FLAIR MR.
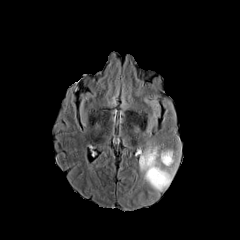
T1-weighted MR.
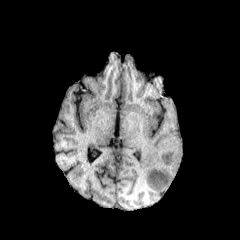
Post-contrast T1-weighted MR image.
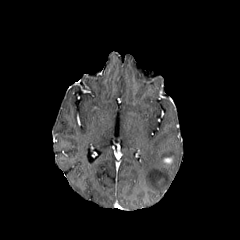
T2-weighted MRI.
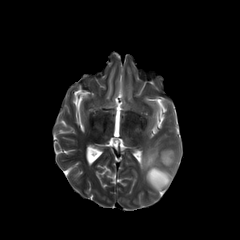
Image size 240x240 | Head | Axial view
The enhancing tumor is at [x1=163, y1=157, x2=172, y2=164]. The peritumoral edema is at [x1=139, y1=144, x2=180, y2=192].